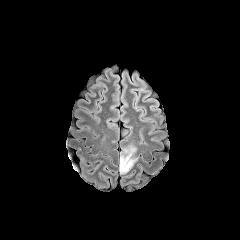
FLAIR MR.
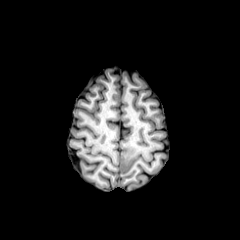
Same slice, T1-weighted magnetic resonance.
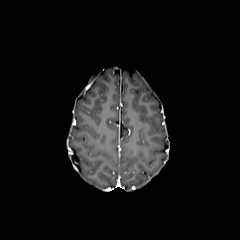
Same slice, post-contrast T1-weighted MR image.
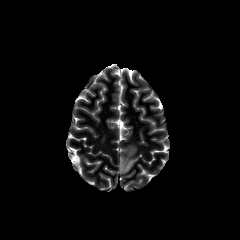
T2-weighted MRI.
Brain
peritumoral_edema:
  - 120,143,138,174